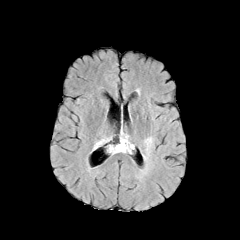
FLAIR MR.
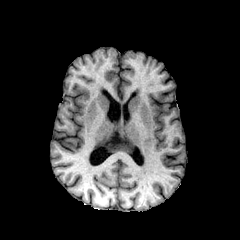
T1-weighted MR image.
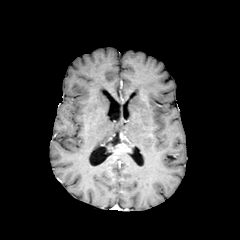
Post-contrast T1-weighted magnetic resonance.
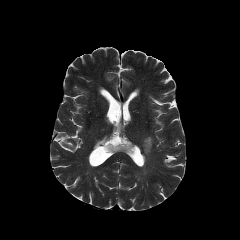
Same slice, T2-weighted MRI.
240x240 px.
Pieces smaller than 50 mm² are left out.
peritumoral_edema:
  - (94,137,111,148)
  - (144,137,152,154)
necrotic_tumor_core:
  - (105,136,121,149)
enhancing_tumor:
  - (108,133,133,152)